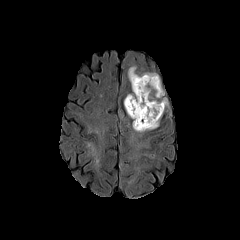
FLAIR MRI.
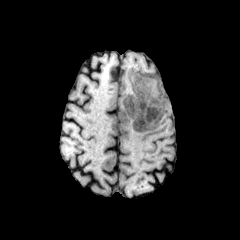
T1-weighted MR image.
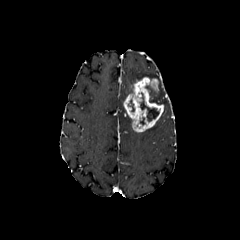
Post-contrast T1-weighted MRI.
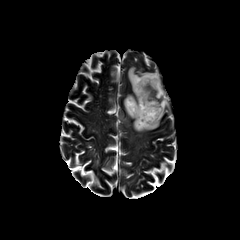
T2-weighted MRI.
Axial slice; Head
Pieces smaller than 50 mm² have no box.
{"enhancing_tumor": ["l=123, t=77, r=163, b=132"], "peritumoral_edema": ["l=128, t=66, r=168, b=109"], "necrotic_tumor_core": ["l=140, t=93, r=159, b=121"]}